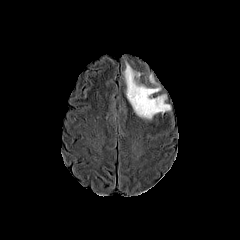
FLAIR MR.
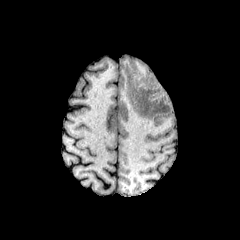
T1-weighted MR of the same slice.
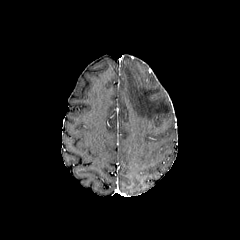
Post-contrast T1-weighted magnetic resonance.
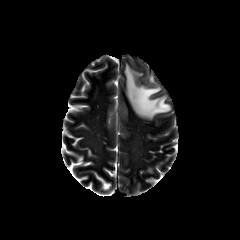
T2-weighted MR.
Axial slice
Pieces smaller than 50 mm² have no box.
The largest peritumoral edema region lies within bbox(124, 63, 170, 119).